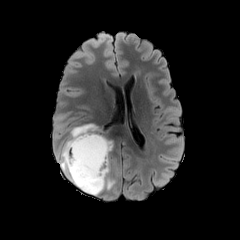
FLAIR MRI.
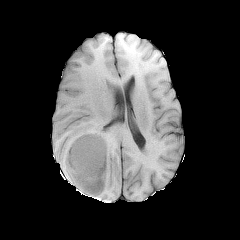
Same slice, T1-weighted MRI.
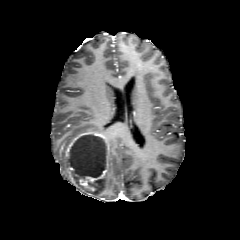
Post-contrast T1-weighted MR.
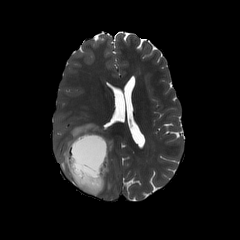
T2-weighted magnetic resonance of the same slice.
Axial plane, Brain
peritumoral edema: bounding box region(55, 123, 100, 191); region(95, 140, 114, 195)
necrotic tumor core: bounding box region(89, 180, 102, 194); region(69, 135, 106, 177)
enhancing tumor: bounding box region(62, 132, 109, 192)